Axial view
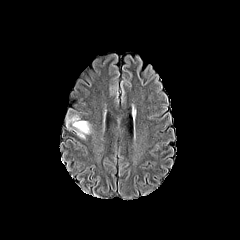
FLAIR MRI.
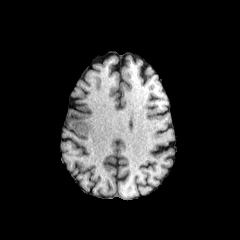
T1-weighted magnetic resonance.
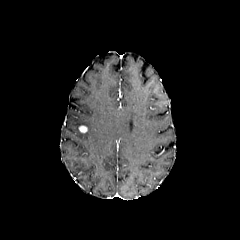
Post-contrast T1-weighted MR image.
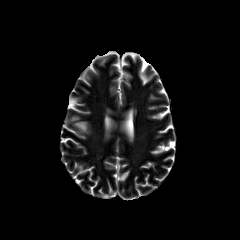
T2-weighted magnetic resonance.
enhancing_tumor:
  - 78 125 87 132
peritumoral_edema:
  - 66 112 91 138